240x240; Head
FLAIR magnetic resonance.
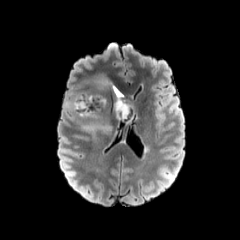
T1-weighted MRI.
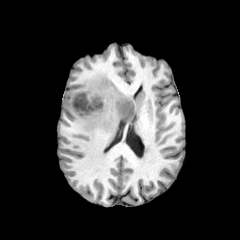
Post-contrast T1-weighted MRI.
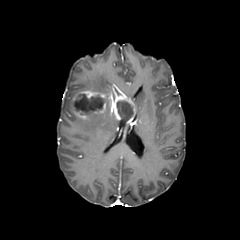
T2-weighted MR image.
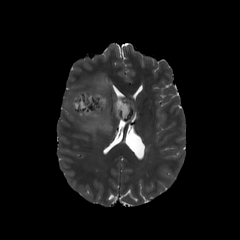
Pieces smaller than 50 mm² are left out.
necrotic tumor core: box(117, 101, 133, 117); box(73, 94, 104, 114) | enhancing tumor: box(71, 85, 135, 123) | peritumoral edema: box(93, 73, 112, 93); box(82, 112, 112, 134)